FLAIR magnetic resonance.
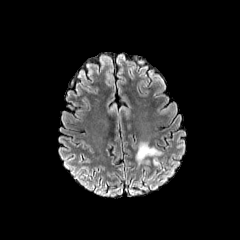
T1-weighted magnetic resonance.
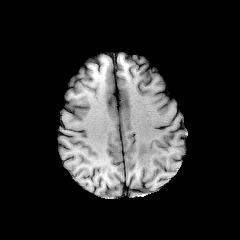
Post-contrast T1-weighted magnetic resonance.
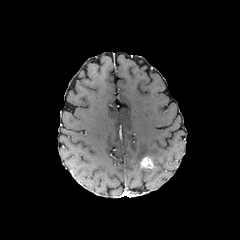
T2-weighted magnetic resonance.
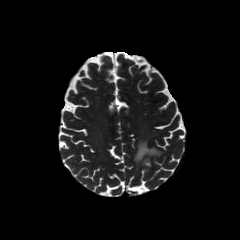
Image size 240x240 | Head | Axial plane
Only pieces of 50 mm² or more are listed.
Annotated regions:
- enhancing tumor: bbox=[140, 157, 152, 168]
- peritumoral edema: bbox=[136, 142, 161, 165]